240x240. Brain. Slice 90 of 155.
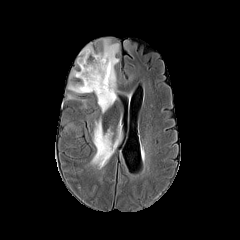
FLAIR MR.
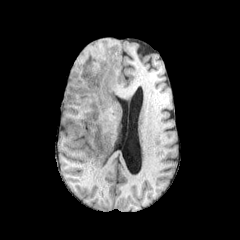
T1-weighted MR image.
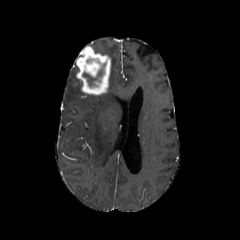
Post-contrast T1-weighted MR.
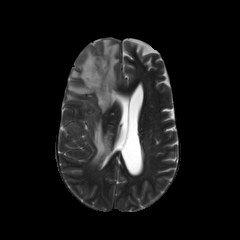
T2-weighted MR.
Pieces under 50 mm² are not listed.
peritumoral edema: bounding box 67, 94, 87, 107; 91, 120, 112, 164; 96, 39, 118, 112; 68, 83, 84, 93
necrotic tumor core: bounding box 83, 73, 96, 85
enhancing tumor: bounding box 76, 45, 111, 95